FLAIR MRI.
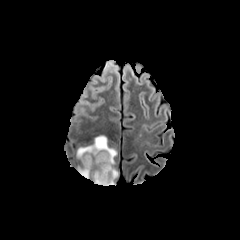
T1-weighted MR.
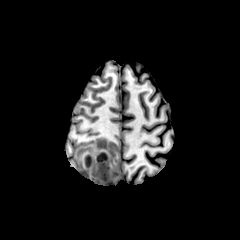
Post-contrast T1-weighted MR image.
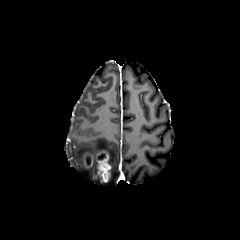
T2-weighted MR image.
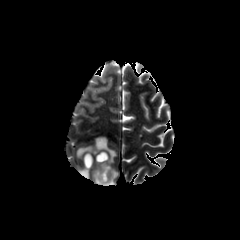
Axial plane | Brain
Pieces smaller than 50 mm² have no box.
necrotic tumor core at left=97, top=153, right=105, bottom=160
peritumoral edema at left=77, top=136, right=118, bottom=184
enhancing tumor at left=96, top=151, right=111, bottom=182; left=84, top=152, right=93, bottom=169